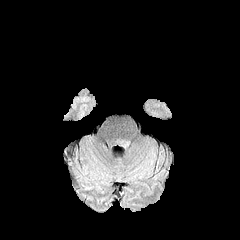
FLAIR MRI.
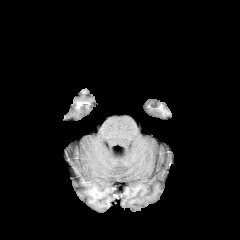
T1-weighted magnetic resonance of the same slice.
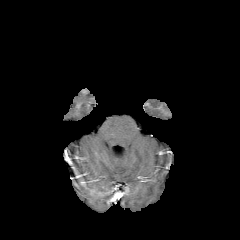
Post-contrast T1-weighted magnetic resonance.
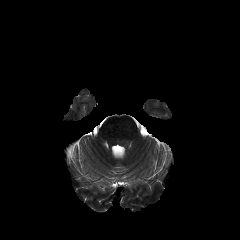
T2-weighted MR.
240x240 px
The peritumoral edema is located at (left=116, top=138, right=130, bottom=147).